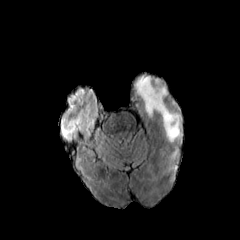
FLAIR MR.
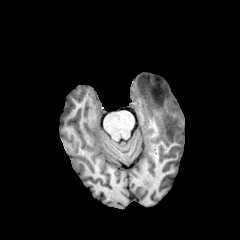
T1-weighted MRI.
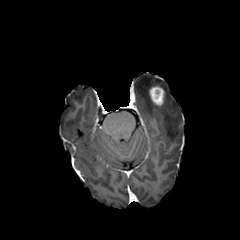
Post-contrast T1-weighted MRI.
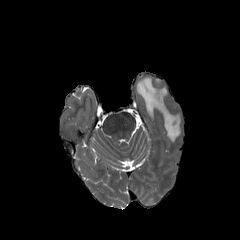
Same slice, T2-weighted MR image.
Head. Axial plane.
{"peritumoral_edema": ["l=135, t=76, r=181, b=142"], "enhancing_tumor": ["l=149, t=85, r=165, b=107"]}